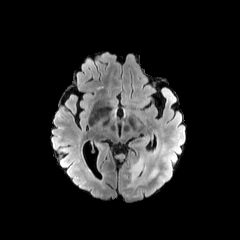
FLAIR MRI.
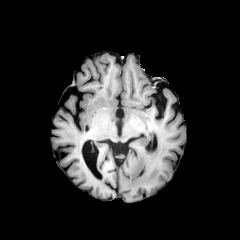
T1-weighted magnetic resonance of the same slice.
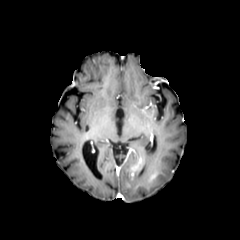
Post-contrast T1-weighted magnetic resonance.
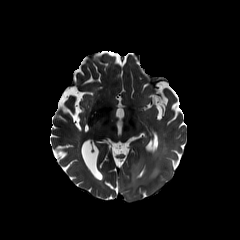
T2-weighted MR image.
Axial plane, Brain
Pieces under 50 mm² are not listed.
peritumoral edema: (x1=126, y1=151, x2=158, y2=188)
enhancing tumor: (x1=130, y1=159, x2=142, y2=178)